FLAIR MR image.
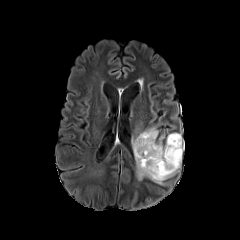
T1-weighted MR.
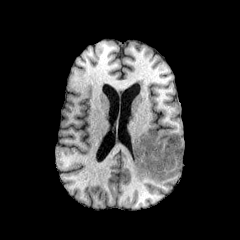
Post-contrast T1-weighted MR.
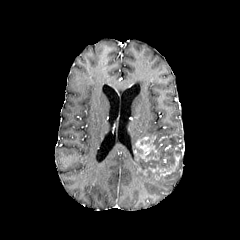
T2-weighted MR.
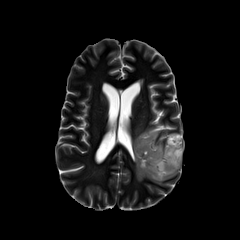
Brain. 240x240.
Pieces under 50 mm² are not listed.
The largest necrotic tumor core region is located at box=[136, 134, 180, 170]. The 3 largest peritumoral edema regions are bounded by box=[163, 133, 180, 144]; box=[132, 127, 158, 150]; box=[135, 156, 180, 185]. The 2 largest enhancing tumor regions are bounded by box=[138, 152, 180, 179]; box=[134, 135, 159, 161].